Image width 240 mm; 240x240; Axial view
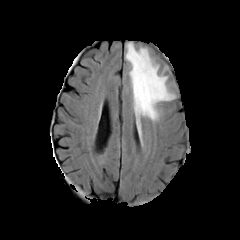
FLAIR MR image.
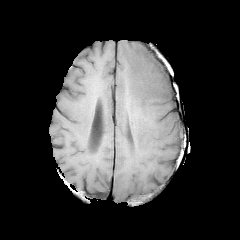
T1-weighted MR.
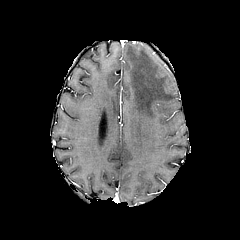
Post-contrast T1-weighted MRI.
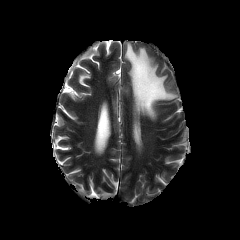
T2-weighted MR image.
The peritumoral edema is bounded by box=[125, 43, 175, 126].